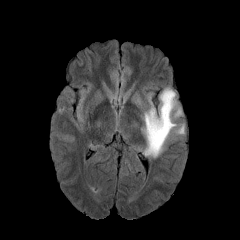
FLAIR MR.
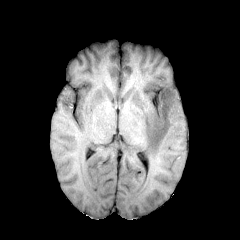
T1-weighted magnetic resonance of the same slice.
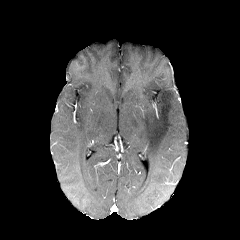
Same slice, post-contrast T1-weighted MR.
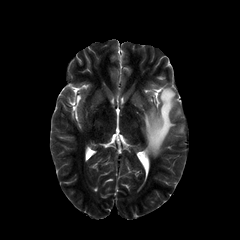
T2-weighted MRI of the same slice.
240x240 px | Axial view
peritumoral edema — [x1=141, y1=87, x2=184, y2=157]